Image width 240 mm, Brain
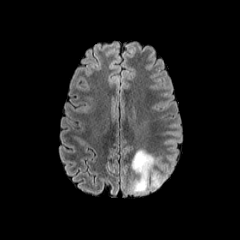
FLAIR MR.
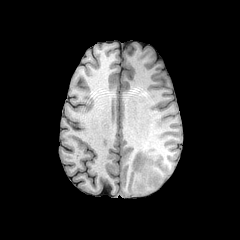
T1-weighted magnetic resonance.
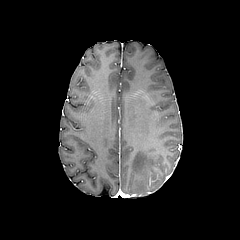
Post-contrast T1-weighted MR of the same slice.
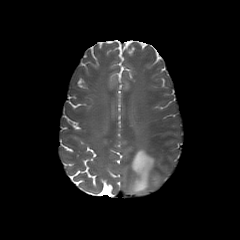
T2-weighted MR image.
peritumoral_edema:
  - bbox(131, 149, 168, 194)